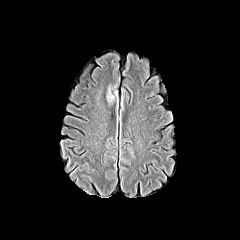
FLAIR magnetic resonance.
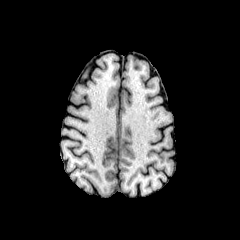
T1-weighted MRI.
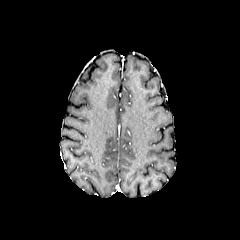
Post-contrast T1-weighted MRI.
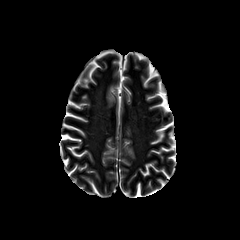
Same slice, T2-weighted MR.
240x240
peritumoral edema: bounding box 105 82 119 106